Brain; Axial view; Image width 240 mm; 240x240 px
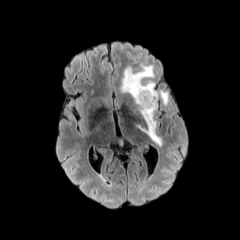
FLAIR MRI.
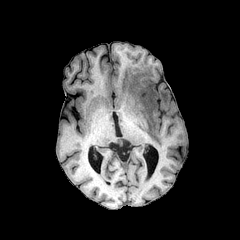
T1-weighted MRI of the same slice.
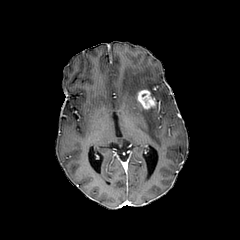
Post-contrast T1-weighted magnetic resonance.
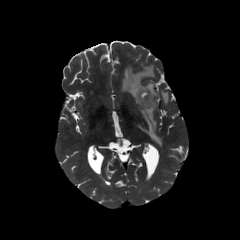
T2-weighted MR image.
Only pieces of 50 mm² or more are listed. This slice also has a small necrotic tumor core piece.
enhancing tumor — left=137, top=89, right=156, bottom=109
peritumoral edema — left=121, top=64, right=161, bottom=146; left=160, top=91, right=168, bottom=105